Head. Axial plane.
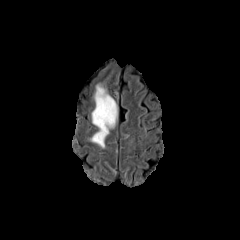
FLAIR magnetic resonance.
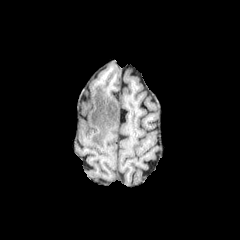
T1-weighted magnetic resonance of the same slice.
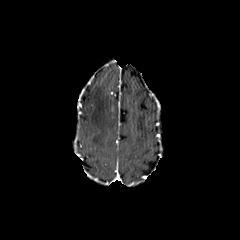
Post-contrast T1-weighted magnetic resonance of the same slice.
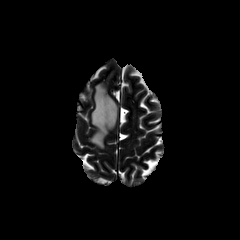
T2-weighted MR image.
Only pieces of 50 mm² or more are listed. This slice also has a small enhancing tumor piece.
{
  "peritumoral_edema": [
    "(90,84,117,147)"
  ]
}